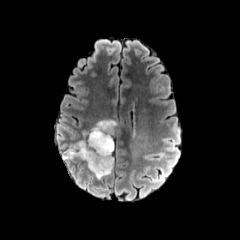
FLAIR MRI.
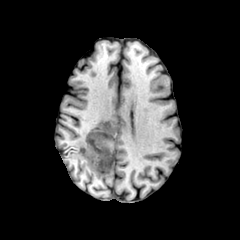
T1-weighted MRI of the same slice.
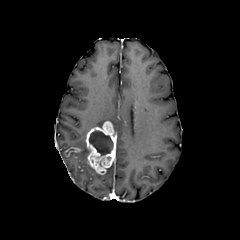
Post-contrast T1-weighted MRI.
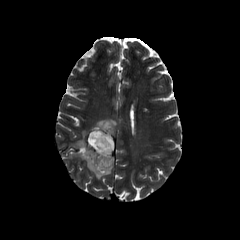
Same slice, T2-weighted magnetic resonance.
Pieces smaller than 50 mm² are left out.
necrotic tumor core: box(89, 130, 113, 155) | peritumoral edema: box(63, 140, 87, 161); box(94, 119, 116, 129); box(87, 162, 114, 178) | enhancing tumor: box(86, 121, 116, 175); box(66, 147, 80, 156)